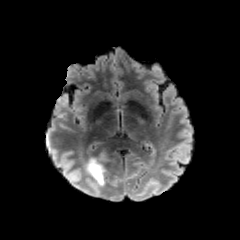
FLAIR MRI.
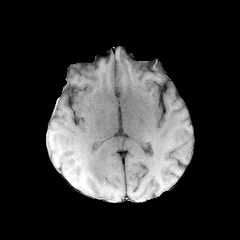
T1-weighted MR.
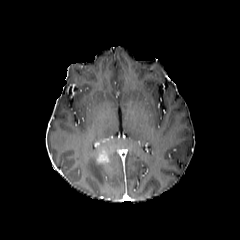
Post-contrast T1-weighted magnetic resonance.
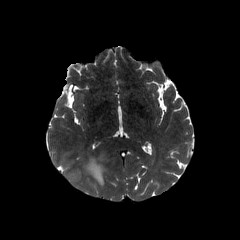
T2-weighted magnetic resonance.
Brain
- enhancing tumor: [97, 151, 107, 162]
- peritumoral edema: [84, 148, 107, 186]